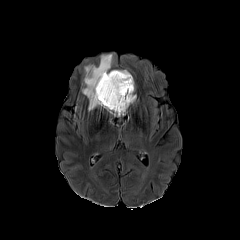
FLAIR MR.
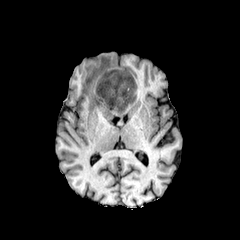
T1-weighted MR.
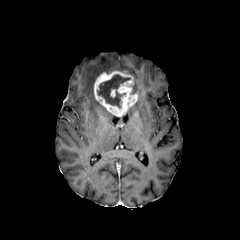
Post-contrast T1-weighted MR.
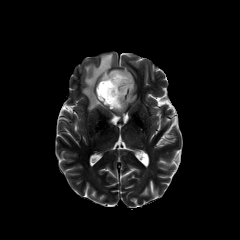
T2-weighted MR image of the same slice.
Brain
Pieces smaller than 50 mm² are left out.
Annotated regions:
• enhancing tumor: x1=94, y1=70, x2=137, y2=116
• necrotic tumor core: x1=97, y1=74, x2=130, y2=107
• peritumoral edema: x1=82, y1=54, x2=113, y2=110